FLAIR MRI.
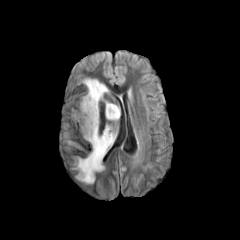
T1-weighted MRI.
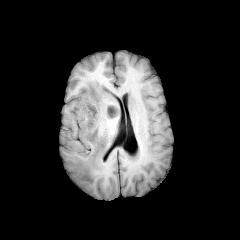
Post-contrast T1-weighted magnetic resonance.
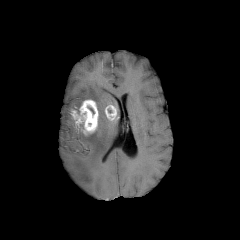
T2-weighted magnetic resonance.
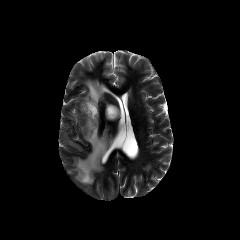
Axial plane.
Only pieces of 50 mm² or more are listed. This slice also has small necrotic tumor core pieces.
{"enhancing_tumor": ["<box>105,105,117,120</box>", "<box>72,99,98,134</box>"], "peritumoral_edema": ["<box>83,79,107,110</box>", "<box>75,119,114,183</box>"]}